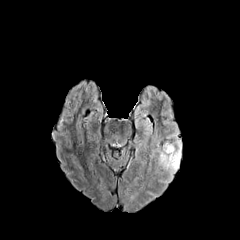
FLAIR magnetic resonance.
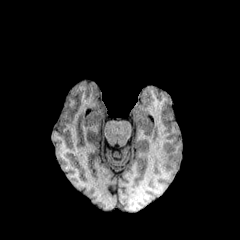
T1-weighted MR image of the same slice.
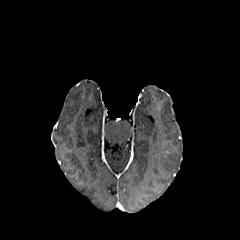
Post-contrast T1-weighted MRI of the same slice.
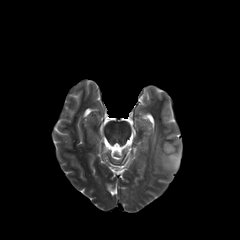
Same slice, T2-weighted MR image.
Axial plane | Head
peritumoral edema: box=[155, 140, 181, 173]